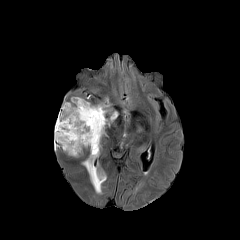
FLAIR magnetic resonance.
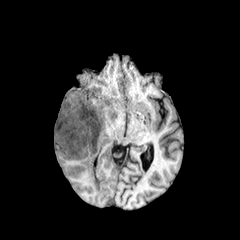
Same slice, T1-weighted magnetic resonance.
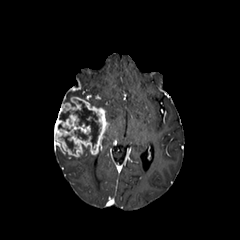
Post-contrast T1-weighted MRI.
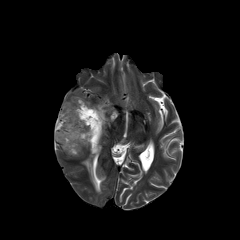
T2-weighted MR of the same slice.
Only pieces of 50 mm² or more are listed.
The 4 largest necrotic tumor core regions are located at l=74, t=129, r=87, b=139; l=62, t=136, r=74, b=150; l=59, t=111, r=69, b=120; l=74, t=101, r=99, b=145. The largest enhancing tumor region lies within l=54, t=97, r=109, b=157. The 4 largest peritumoral edema regions are bounded by l=106, t=111, r=117, b=122; l=82, t=151, r=106, b=194; l=63, t=89, r=85, b=102; l=95, t=103, r=109, b=112.